Head, Slice index 121
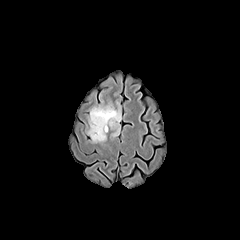
FLAIR MRI.
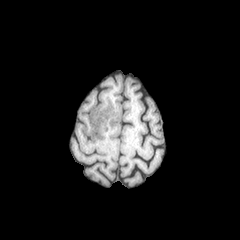
T1-weighted MR image.
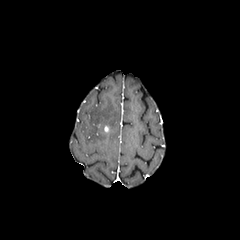
Post-contrast T1-weighted MRI.
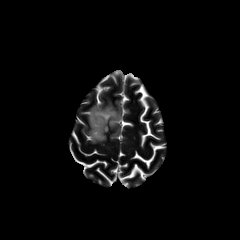
T2-weighted MR image.
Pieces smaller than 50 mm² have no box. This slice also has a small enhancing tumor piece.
{"peritumoral_edema": ["<bbox>87, 104, 120, 142</bbox>"]}